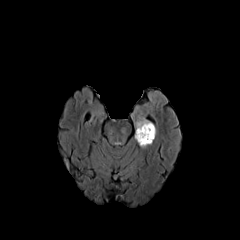
FLAIR MR image.
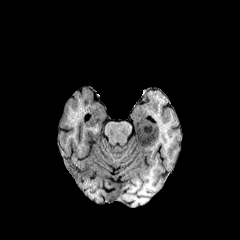
T1-weighted MRI.
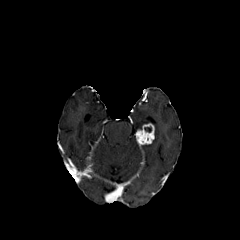
Post-contrast T1-weighted MR of the same slice.
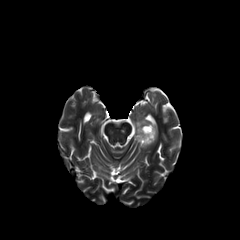
T2-weighted magnetic resonance.
240x240 px; Brain
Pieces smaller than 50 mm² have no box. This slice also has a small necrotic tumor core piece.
<segmentation>
  <peritumoral_edema>(135, 116, 150, 130)</peritumoral_edema>
  <enhancing_tumor>(135, 123, 154, 145)</enhancing_tumor>
</segmentation>